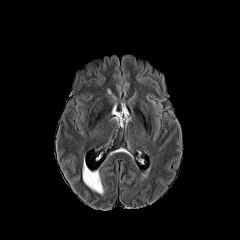
FLAIR MRI.
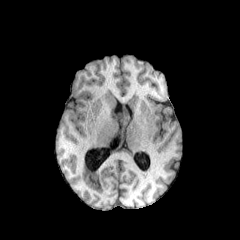
T1-weighted MR image.
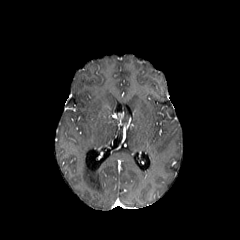
Same slice, post-contrast T1-weighted MRI.
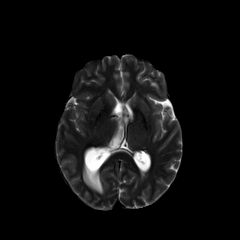
T2-weighted MRI.
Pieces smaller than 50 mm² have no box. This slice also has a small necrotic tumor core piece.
- enhancing tumor: left=114, top=112, right=123, bottom=124
- peritumoral edema: left=123, top=107, right=128, bottom=121